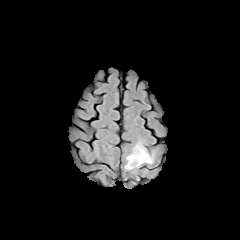
FLAIR MRI.
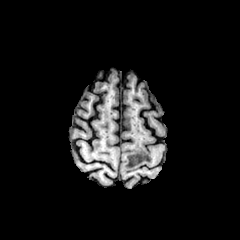
T1-weighted magnetic resonance of the same slice.
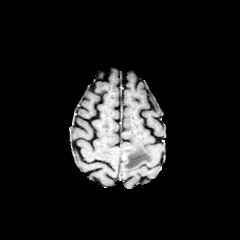
Same slice, post-contrast T1-weighted MR.
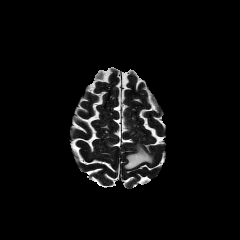
T2-weighted magnetic resonance of the same slice.
Axial view, Head
Segmented structures:
- peritumoral edema: (left=125, top=142, right=153, bottom=169)